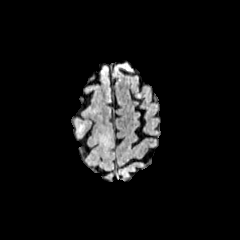
FLAIR magnetic resonance.
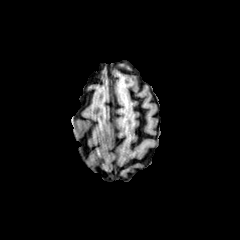
T1-weighted magnetic resonance.
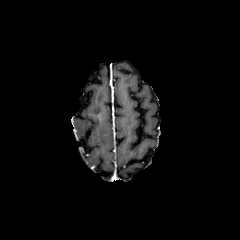
Post-contrast T1-weighted magnetic resonance of the same slice.
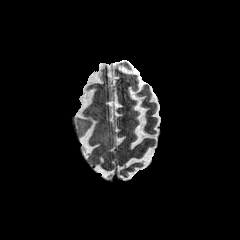
T2-weighted MR of the same slice.
240x240 px | Head | Axial plane
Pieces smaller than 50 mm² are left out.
peritumoral_edema:
  - [100, 133, 110, 146]
  - [75, 120, 85, 136]